FLAIR MRI.
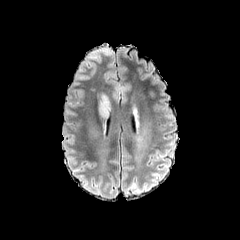
T1-weighted magnetic resonance.
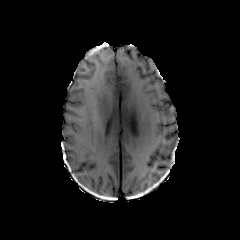
Post-contrast T1-weighted MRI.
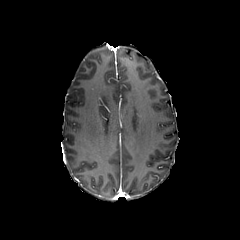
T2-weighted MRI.
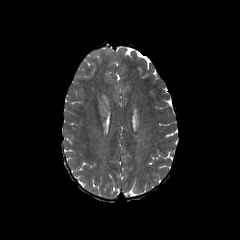
240x240
The peritumoral edema is at <box>98,93,110,117</box>.